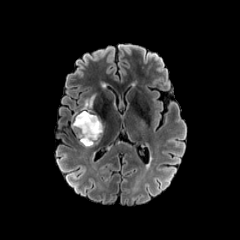
FLAIR magnetic resonance.
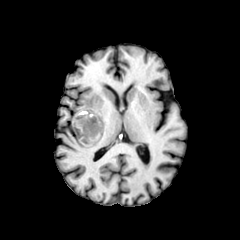
T1-weighted MRI.
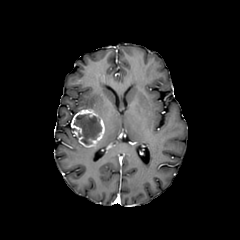
Post-contrast T1-weighted MR.
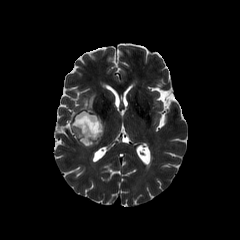
T2-weighted MR of the same slice.
<segmentation>
  <peritumoral_edema>(80,94,96,110)</peritumoral_edema>
  <necrotic_tumor_core>(74,114,101,144)</necrotic_tumor_core>
  <enhancing_tumor>(71,110,104,147)</enhancing_tumor>
</segmentation>